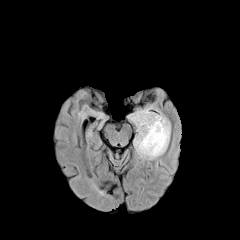
FLAIR MR.
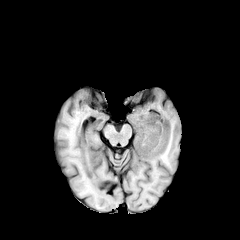
Same slice, T1-weighted magnetic resonance.
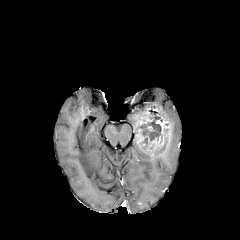
Post-contrast T1-weighted MR image of the same slice.
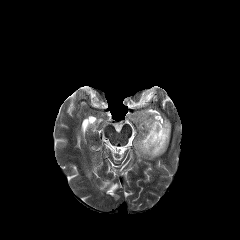
Same slice, T2-weighted MR.
240x240
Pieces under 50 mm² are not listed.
The 2 largest necrotic tumor core regions appear at (155, 141, 167, 156), (138, 119, 161, 140). The 2 largest peritumoral edema regions are bounded by (133, 139, 168, 159), (128, 105, 158, 123). The largest enhancing tumor region appears at (134, 108, 170, 157).